Head | Axial plane
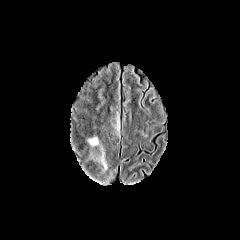
FLAIR MRI.
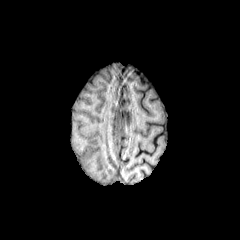
Same slice, T1-weighted magnetic resonance.
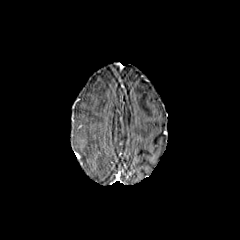
Same slice, post-contrast T1-weighted MR image.
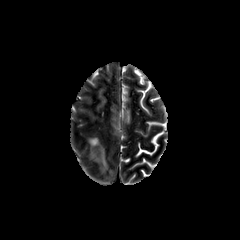
Same slice, T2-weighted MR.
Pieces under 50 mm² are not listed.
peritumoral edema at left=98, top=147, right=107, bottom=170; left=88, top=137, right=98, bottom=146